Image covers 240 mm x 240 mm; Brain
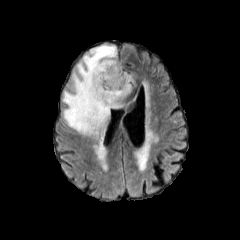
FLAIR magnetic resonance.
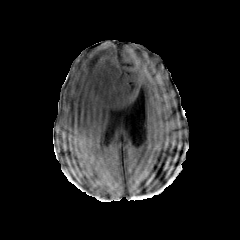
T1-weighted MRI.
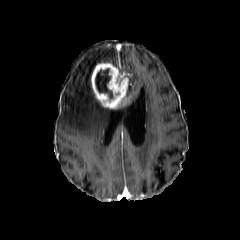
Post-contrast T1-weighted MRI.
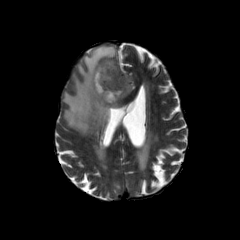
T2-weighted MR image of the same slice.
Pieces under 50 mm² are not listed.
enhancing tumor: box(90, 61, 132, 108) | necrotic tumor core: box(95, 68, 112, 98) | peritumoral edema: box(62, 44, 135, 135)